Head
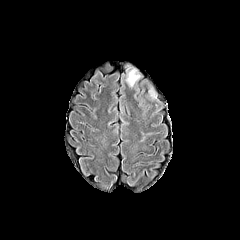
FLAIR MR.
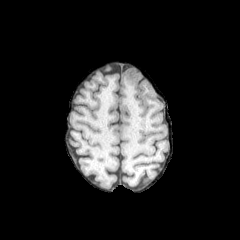
T1-weighted MR image of the same slice.
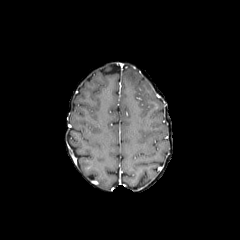
Post-contrast T1-weighted MR.
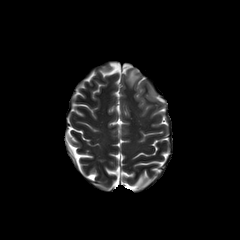
T2-weighted MR image.
<segmentation>
  <peritumoral_edema>rect(126, 69, 139, 86)</peritumoral_edema>
</segmentation>